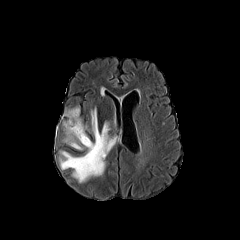
FLAIR MR.
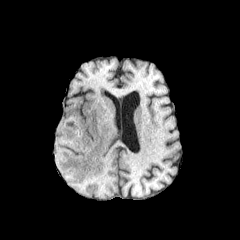
T1-weighted MRI of the same slice.
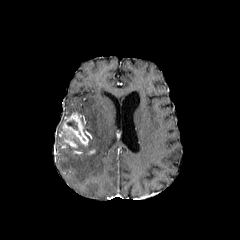
Post-contrast T1-weighted MR image.
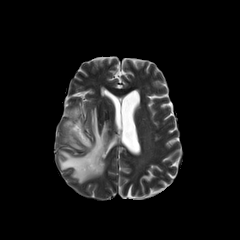
T2-weighted MR image of the same slice.
Head | 240x240
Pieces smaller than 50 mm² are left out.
peritumoral_edema:
  - box=[59, 108, 115, 182]
  - box=[66, 107, 79, 113]
necrotic_tumor_core:
  - box=[66, 121, 77, 129]
enhancing_tumor:
  - box=[58, 111, 88, 148]